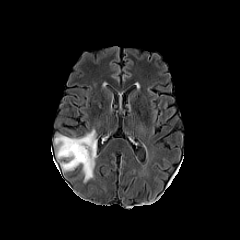
FLAIR magnetic resonance.
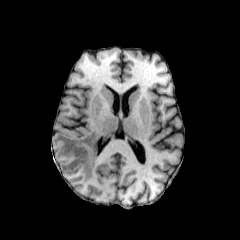
T1-weighted magnetic resonance.
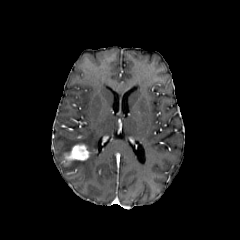
Same slice, post-contrast T1-weighted magnetic resonance.
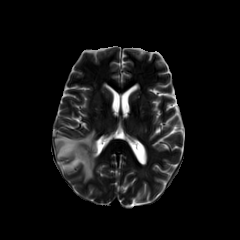
T2-weighted MR image.
240x240 px
enhancing_tumor:
  - (64,144,90,164)
peritumoral_edema:
  - (54,129,96,182)